FLAIR MR.
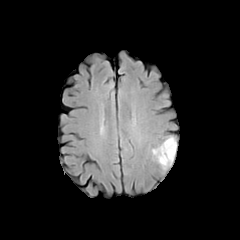
T1-weighted MRI.
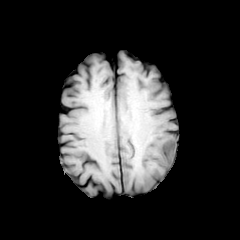
Post-contrast T1-weighted magnetic resonance.
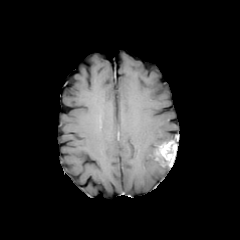
T2-weighted magnetic resonance.
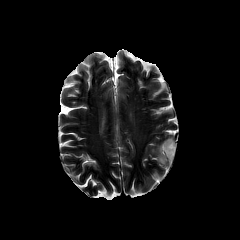
Head
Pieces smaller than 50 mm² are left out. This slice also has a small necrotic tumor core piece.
peritumoral_edema:
  - bbox(151, 136, 175, 159)
enhancing_tumor:
  - bbox(156, 140, 177, 166)